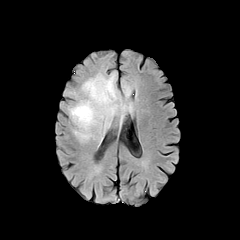
FLAIR MR.
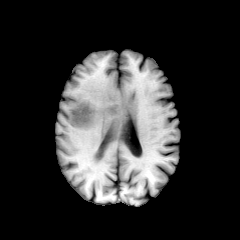
T1-weighted MR.
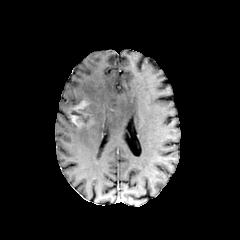
Post-contrast T1-weighted magnetic resonance.
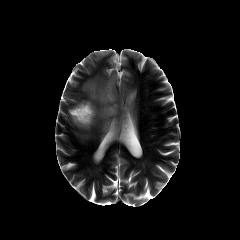
Same slice, T2-weighted MRI.
Axial slice
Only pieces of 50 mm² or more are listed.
The enhancing tumor appears at bbox=[69, 100, 93, 127]. The largest necrotic tumor core region appears at bbox=[70, 110, 89, 125]. The largest peritumoral edema region is bounded by bbox=[73, 74, 133, 141].